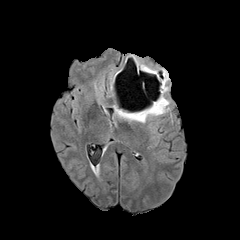
FLAIR MR.
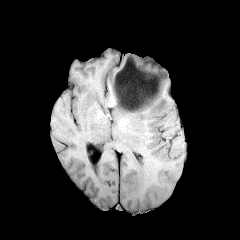
Same slice, T1-weighted magnetic resonance.
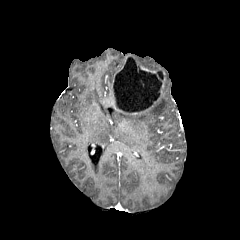
Post-contrast T1-weighted MR image.
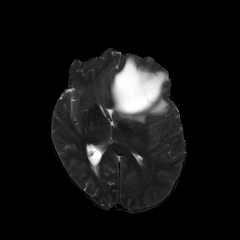
Same slice, T2-weighted MR image.
240x240, Brain
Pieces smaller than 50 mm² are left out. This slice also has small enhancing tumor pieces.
peritumoral edema at [x1=116, y1=87, x2=169, y2=122]
necrotic tumor core at [x1=113, y1=57, x2=165, y2=112]